Slice 89/155; 240x240; Head; Image width 240 mm
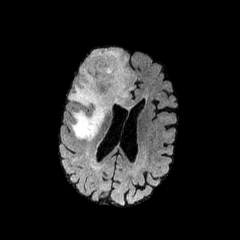
FLAIR MRI.
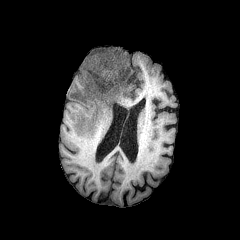
T1-weighted MR image.
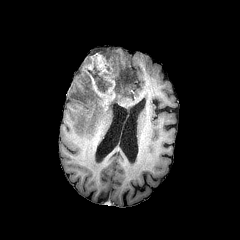
Post-contrast T1-weighted magnetic resonance.
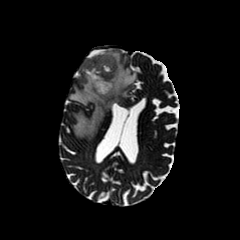
Same slice, T2-weighted MRI.
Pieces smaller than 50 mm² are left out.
enhancing tumor at rect(82, 52, 124, 109)
peritumoral edema at rect(69, 48, 135, 140)
necrotic tumor core at rect(87, 61, 110, 92)